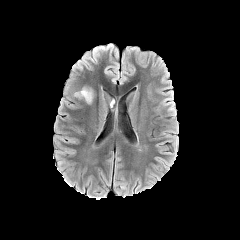
FLAIR MRI.
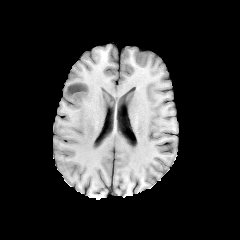
Same slice, T1-weighted MR image.
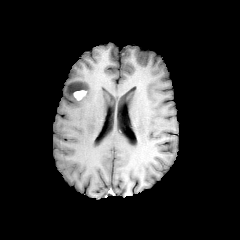
Same slice, post-contrast T1-weighted MR image.
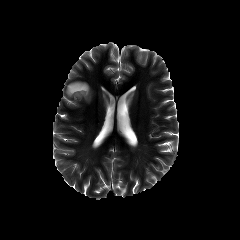
T2-weighted MR.
Axial view.
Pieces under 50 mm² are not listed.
* enhancing tumor: l=73, t=90, r=86, b=100
* peritumoral edema: l=83, t=86, r=92, b=103
* necrotic tumor core: l=69, t=84, r=84, b=93